Head. Slice 98/155.
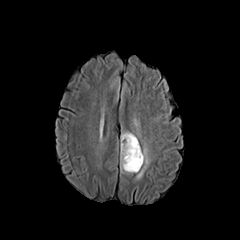
FLAIR MR.
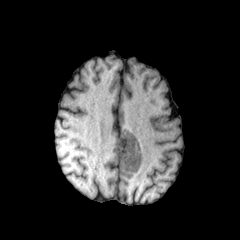
T1-weighted MRI of the same slice.
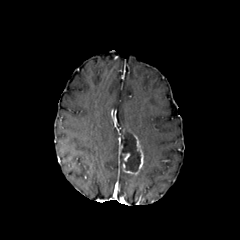
Post-contrast T1-weighted magnetic resonance of the same slice.
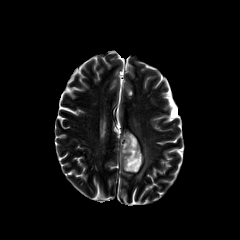
Same slice, T2-weighted MR.
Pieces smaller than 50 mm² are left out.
enhancing_tumor:
  - l=122, t=129, r=143, b=175
peritumoral_edema:
  - l=136, t=143, r=150, b=179
necrotic_tumor_core:
  - l=121, t=131, r=140, b=171